FLAIR MRI.
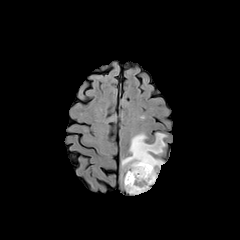
T1-weighted MRI.
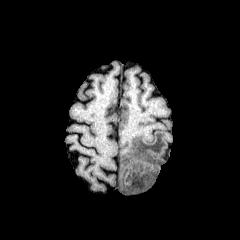
Post-contrast T1-weighted MR image.
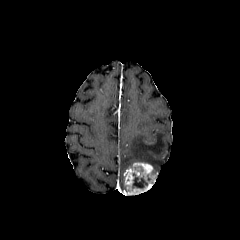
T2-weighted MR.
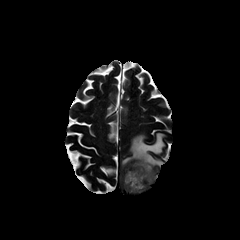
240x240 px.
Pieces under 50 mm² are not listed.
peritumoral edema: <box>121,133,166,170</box>
enhancing tumor: <box>124,162,156,194</box>
necrotic tumor core: <box>132,177,147,188</box>